FLAIR MRI.
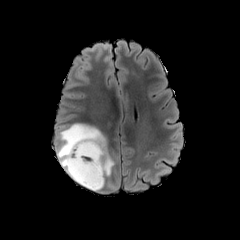
T1-weighted magnetic resonance.
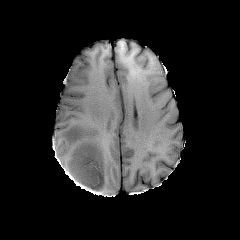
Post-contrast T1-weighted MR.
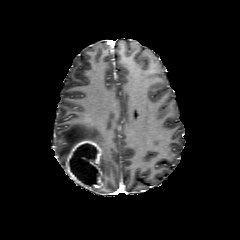
T2-weighted magnetic resonance.
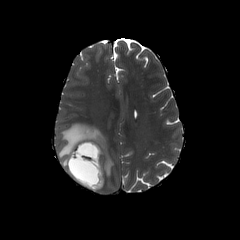
Brain.
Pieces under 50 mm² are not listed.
{
  "necrotic_tumor_core": [
    "(x1=69, y1=144, x2=98, y2=185)"
  ],
  "enhancing_tumor": [
    "(x1=63, y1=140, x2=103, y2=190)"
  ],
  "peritumoral_edema": [
    "(x1=56, y1=123, x2=114, y2=184)"
  ]
}